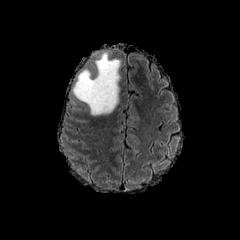
FLAIR magnetic resonance.
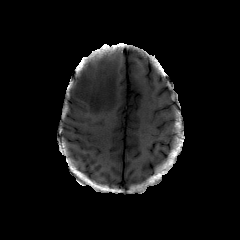
T1-weighted MR of the same slice.
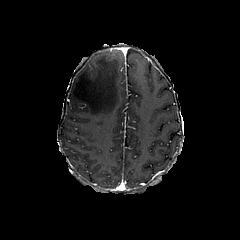
Post-contrast T1-weighted MR image of the same slice.
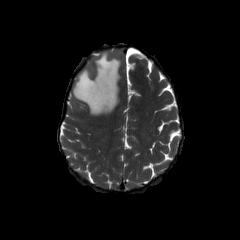
T2-weighted magnetic resonance.
Axial slice | Head | 240x240
The peritumoral edema appears at [72,51,120,115].